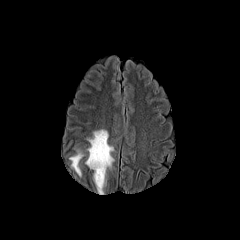
FLAIR MR.
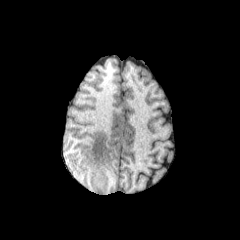
T1-weighted MR image of the same slice.
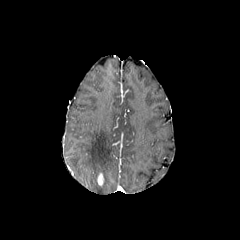
Post-contrast T1-weighted MR image of the same slice.
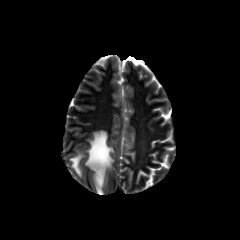
T2-weighted MRI.
enhancing tumor: bounding box [97,172,103,186]
peritumoral edema: bounding box [70,150,83,176], [85,129,114,194]